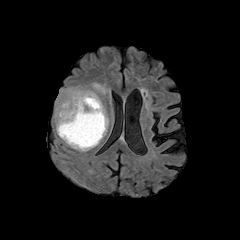
FLAIR MR image.
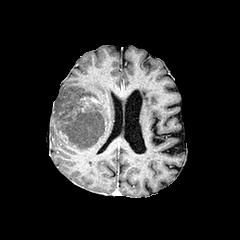
T1-weighted MRI of the same slice.
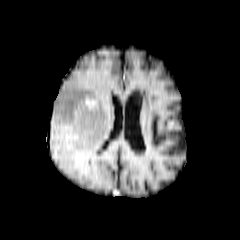
Same slice, post-contrast T1-weighted magnetic resonance.
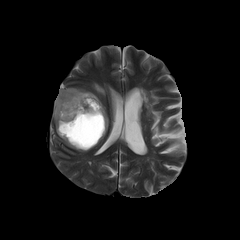
T2-weighted MR image.
240x240, Axial plane
Findings:
* necrotic tumor core: 61 108 103 146
* peritumoral edema: 54 82 108 151
* enhancing tumor: 79 95 99 110